Axial plane; Head; Image size 240x240
FLAIR MR.
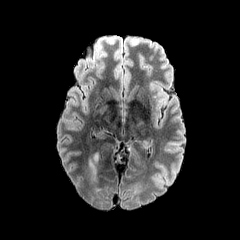
T1-weighted MR.
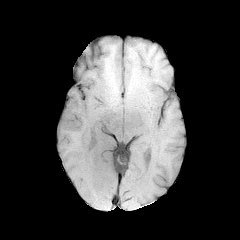
Post-contrast T1-weighted magnetic resonance.
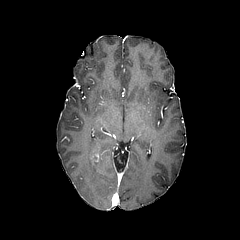
T2-weighted magnetic resonance.
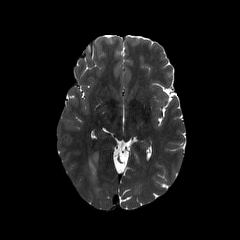
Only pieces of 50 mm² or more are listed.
enhancing tumor at 91:153:99:162
peritumoral edema at 88:156:97:181